Axial view. Image size 240x240. Head. Slice index 29.
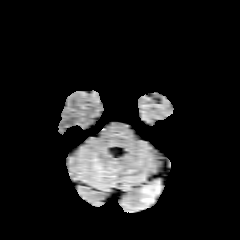
FLAIR MR.
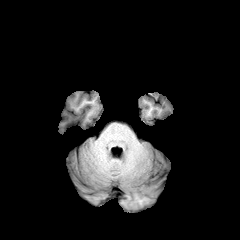
T1-weighted MR image.
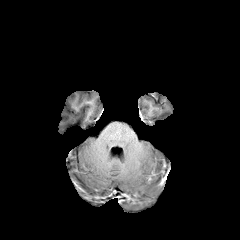
Post-contrast T1-weighted MR image.
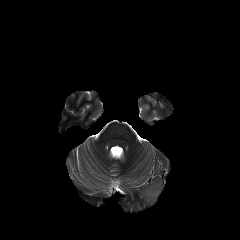
T2-weighted MR image.
* peritumoral edema: box(141, 181, 160, 204)